FLAIR MRI.
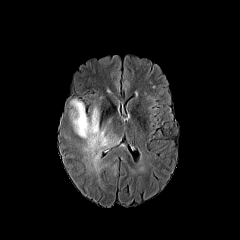
T1-weighted MR image.
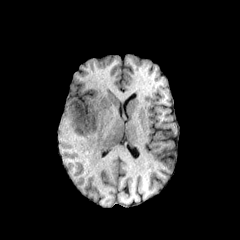
Post-contrast T1-weighted MR image.
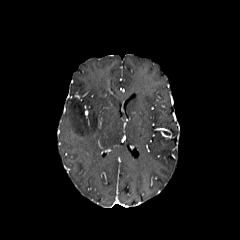
T2-weighted MR.
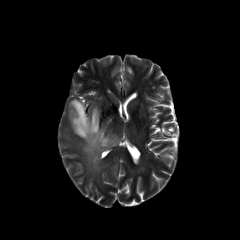
Axial plane; Head
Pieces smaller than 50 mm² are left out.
peritumoral_edema:
  - box=[69, 99, 121, 174]